Head | Axial plane | Image width 240 mm | 240x240 px
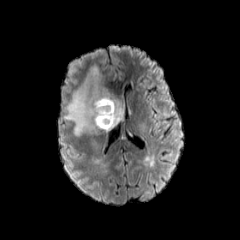
FLAIR MRI.
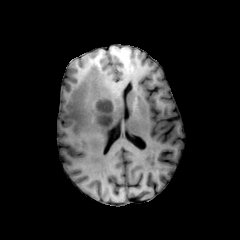
T1-weighted MRI.
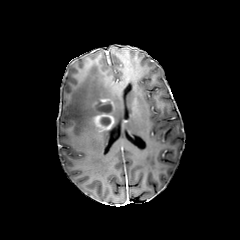
Same slice, post-contrast T1-weighted MR image.
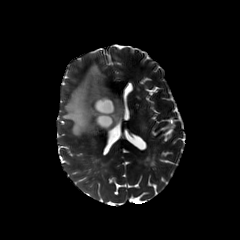
T2-weighted MR.
enhancing tumor at 91:97:114:130
peritumoral edema at 63:65:122:135
necrotic tumor core at 96:103:112:113, 101:117:110:125